Head | Image size 240x240 | Axial plane | Image width 240 mm
FLAIR magnetic resonance.
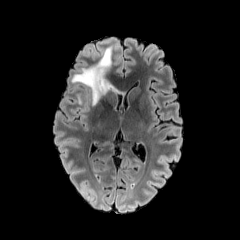
T1-weighted magnetic resonance.
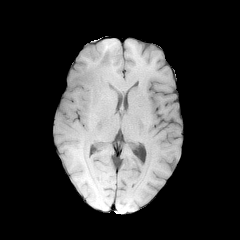
Post-contrast T1-weighted MR.
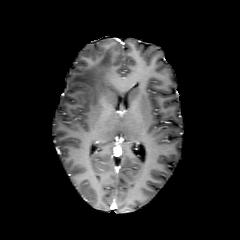
T2-weighted magnetic resonance.
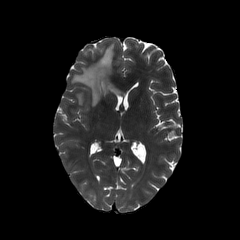
2 peritumoral edema regions are bounded by (71, 46, 120, 105), (76, 93, 83, 104).